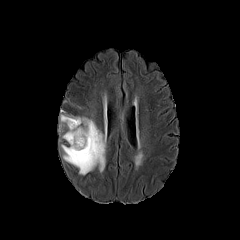
FLAIR magnetic resonance.
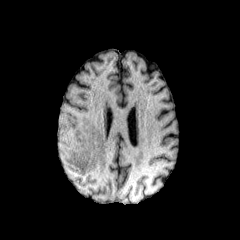
T1-weighted MRI of the same slice.
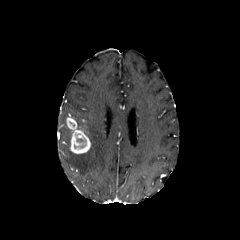
Same slice, post-contrast T1-weighted MR.
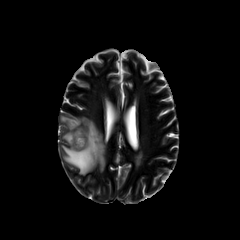
T2-weighted MR.
Head. Axial view.
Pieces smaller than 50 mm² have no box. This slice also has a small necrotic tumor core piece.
peritumoral_edema:
  - l=62, t=128, r=71, b=145
  - l=60, t=114, r=68, b=126
  - l=61, t=116, r=106, b=175
enhancing_tumor:
  - l=66, t=116, r=90, b=153